Head
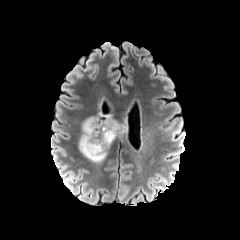
FLAIR MRI.
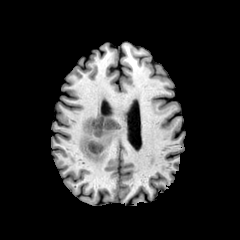
T1-weighted MR of the same slice.
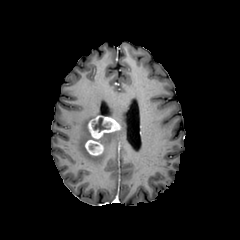
Post-contrast T1-weighted magnetic resonance.
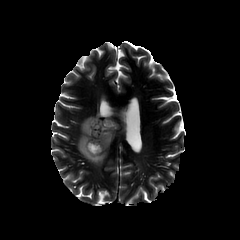
T2-weighted MRI of the same slice.
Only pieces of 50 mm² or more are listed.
peritumoral edema: (x1=79, y1=117, x2=117, y2=163) | enhancing tumor: (x1=88, y1=116, x2=120, y2=139), (x1=85, y1=139, x2=104, y2=155) | necrotic tumor core: (x1=92, y1=117, x2=109, y2=131)